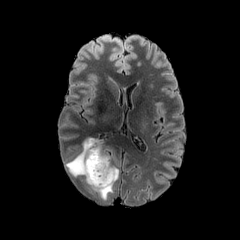
FLAIR MR image.
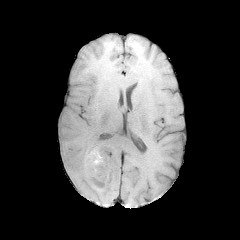
T1-weighted MR image of the same slice.
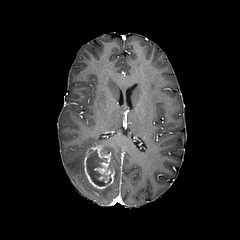
Same slice, post-contrast T1-weighted MRI.
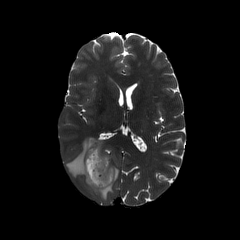
T2-weighted MRI of the same slice.
Axial slice. Brain.
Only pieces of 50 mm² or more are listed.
The largest necrotic tumor core region is located at (left=86, top=150, right=111, bottom=186). The enhancing tumor is located at (left=83, top=145, right=114, bottom=189). The peritumoral edema appears at (left=65, top=137, right=119, bottom=199).